FLAIR MRI.
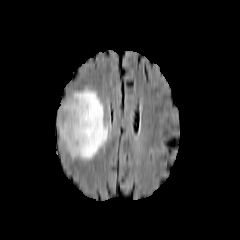
T1-weighted MRI.
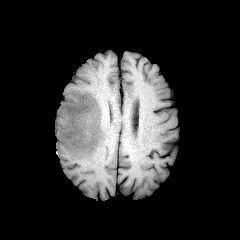
Post-contrast T1-weighted magnetic resonance.
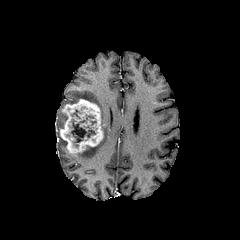
T2-weighted magnetic resonance.
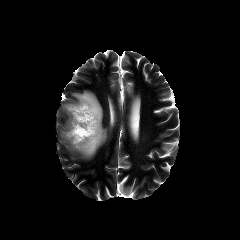
Axial slice.
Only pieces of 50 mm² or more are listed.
<segmentation>
  <enhancing_tumor>[60,99,103,155]</enhancing_tumor>
  <peritumoral_edema>[60,89,111,159]</peritumoral_edema>
  <necrotic_tumor_core>[71,115,95,143]</necrotic_tumor_core>
</segmentation>